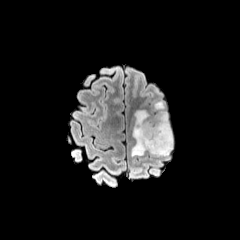
FLAIR magnetic resonance.
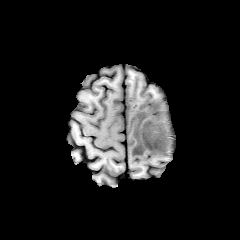
T1-weighted MR.
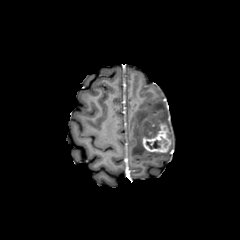
Post-contrast T1-weighted MR of the same slice.
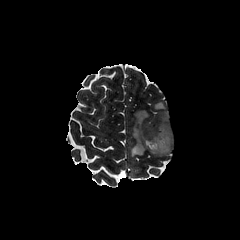
T2-weighted MR image.
Axial slice
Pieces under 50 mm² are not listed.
Annotated regions:
- necrotic tumor core: bbox(146, 140, 160, 148)
- enhancing tumor: bbox(142, 124, 171, 152)
- peritumoral edema: bbox(131, 101, 173, 156)